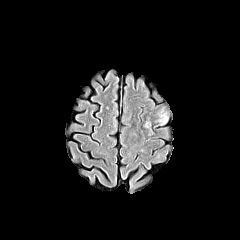
FLAIR MRI.
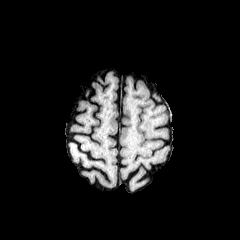
Same slice, T1-weighted magnetic resonance.
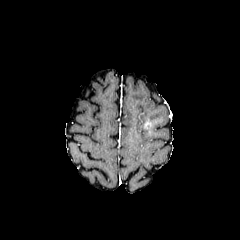
Same slice, post-contrast T1-weighted MRI.
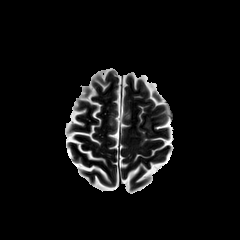
T2-weighted magnetic resonance.
240x240.
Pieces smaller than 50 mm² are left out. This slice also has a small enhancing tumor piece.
{
  "peritumoral_edema": [
    "<box>143,116,154,136</box>",
    "<box>154,105,168,126</box>"
  ]
}